Image width 240 mm | Head | Axial slice
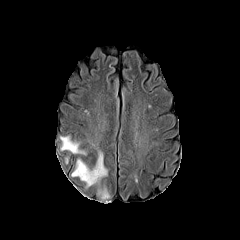
FLAIR MRI.
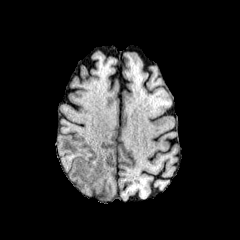
Same slice, T1-weighted MRI.
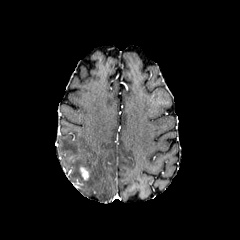
Post-contrast T1-weighted MRI.
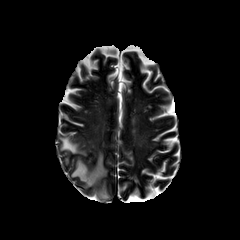
T2-weighted magnetic resonance.
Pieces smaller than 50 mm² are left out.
enhancing tumor: rect(80, 166, 88, 179) | peritumoral edema: rect(97, 188, 109, 200); rect(71, 150, 107, 188); rect(60, 136, 86, 155)